Slice index 39. Image covers 240 mm x 240 mm. Head.
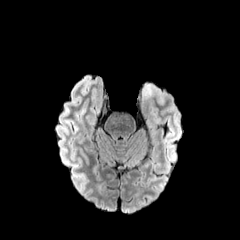
FLAIR MR image.
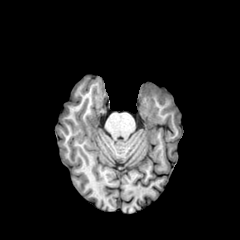
T1-weighted MR image.
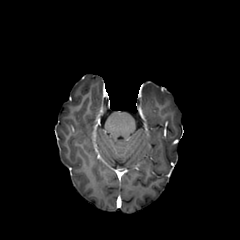
Post-contrast T1-weighted MR image of the same slice.
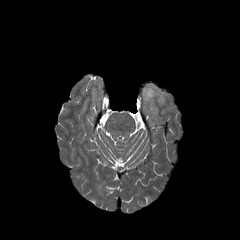
Same slice, T2-weighted magnetic resonance.
peritumoral edema: bounding box region(142, 82, 155, 99)